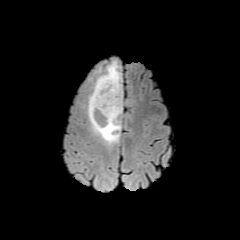
FLAIR magnetic resonance.
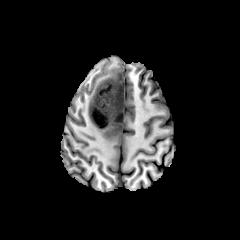
T1-weighted MR image of the same slice.
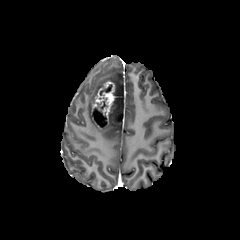
Post-contrast T1-weighted MR.
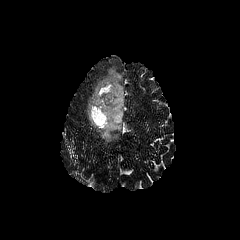
T2-weighted magnetic resonance.
240x240. Axial view.
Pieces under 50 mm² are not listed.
necrotic tumor core: bounding box [100, 84, 112, 95], [92, 108, 107, 126]
enhancing tumor: bounding box [91, 81, 115, 124]
peritumoral edema: bounding box [87, 61, 122, 145]